FLAIR MRI.
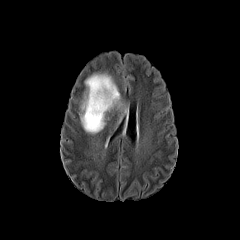
T1-weighted MR image.
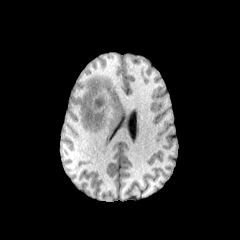
Post-contrast T1-weighted magnetic resonance.
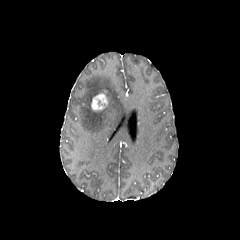
T2-weighted MR.
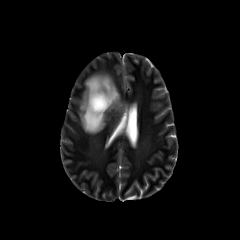
Head
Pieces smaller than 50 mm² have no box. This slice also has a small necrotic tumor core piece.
The enhancing tumor appears at (91,93,108,111). The peritumoral edema appears at (80,71,128,135).